240x240 px
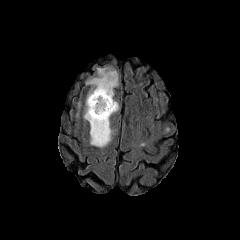
FLAIR magnetic resonance.
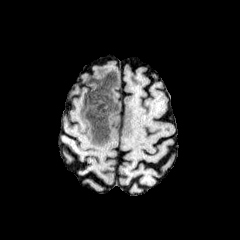
Same slice, T1-weighted MR image.
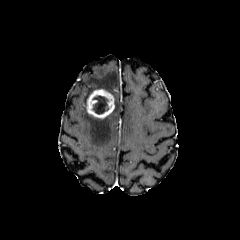
Post-contrast T1-weighted MR image of the same slice.
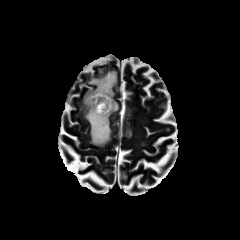
Same slice, T2-weighted MRI.
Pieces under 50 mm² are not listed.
enhancing tumor: l=85, t=89, r=114, b=119 | necrotic tumor core: l=92, t=96, r=108, b=114 | peritumoral edema: l=83, t=101, r=118, b=147; l=86, t=67, r=118, b=98